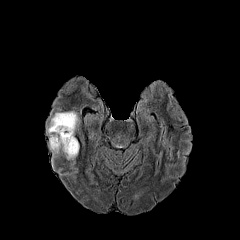
FLAIR MR.
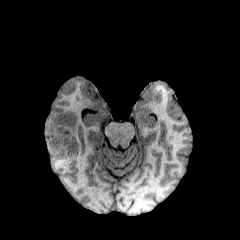
Same slice, T1-weighted MR image.
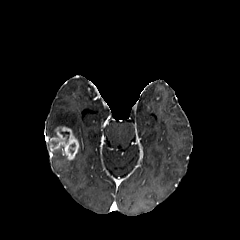
Same slice, post-contrast T1-weighted MRI.
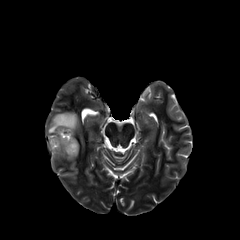
T2-weighted MR image.
Brain | 240x240
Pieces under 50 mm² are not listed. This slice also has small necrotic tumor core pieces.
peritumoral edema: bounding box [47,111,79,136]
enhancing tumor: bounding box [49,126,79,159]